FLAIR MRI.
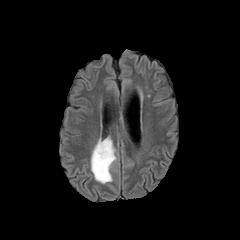
T1-weighted MRI.
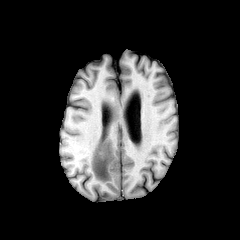
Post-contrast T1-weighted MR image.
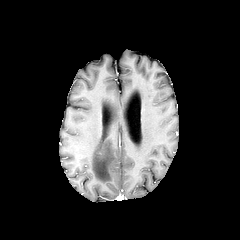
T2-weighted magnetic resonance.
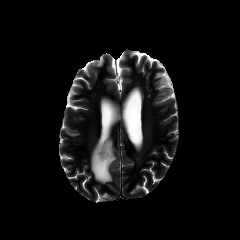
Head | Axial plane
peritumoral edema — bbox=[91, 136, 116, 183]